Head
FLAIR MR.
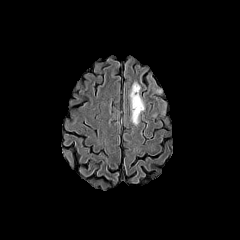
T1-weighted MR.
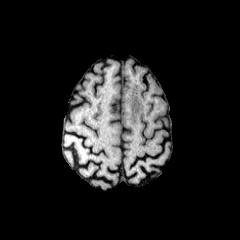
Post-contrast T1-weighted MR.
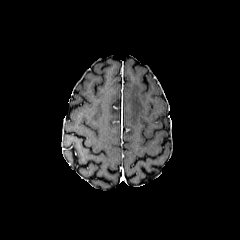
T2-weighted MR.
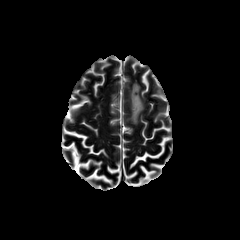
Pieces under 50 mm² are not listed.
peritumoral edema: bbox(130, 82, 144, 124); bbox(153, 100, 166, 117)